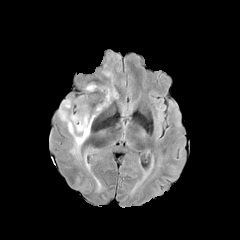
FLAIR MRI.
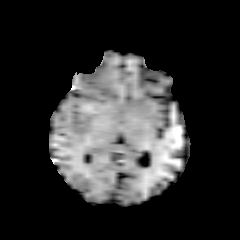
T1-weighted MR image of the same slice.
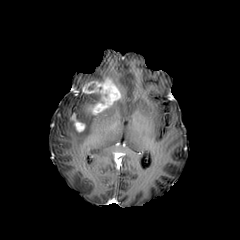
Same slice, post-contrast T1-weighted MRI.
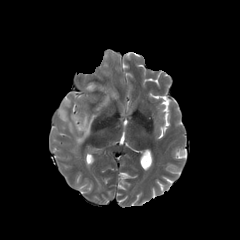
Same slice, T2-weighted magnetic resonance.
Head | Axial view
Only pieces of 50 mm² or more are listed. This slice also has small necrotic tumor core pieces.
enhancing tumor — {"x1": 70, "y1": 113, "x2": 85, "y2": 132}, {"x1": 81, "y1": 76, "x2": 120, "y2": 115}
peritumoral edema — {"x1": 58, "y1": 99, "x2": 95, "y2": 154}